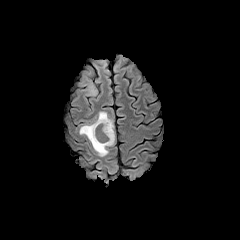
FLAIR MRI.
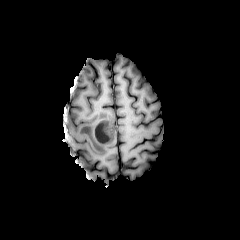
T1-weighted MR.
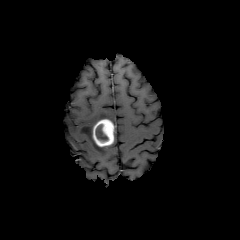
Post-contrast T1-weighted magnetic resonance.
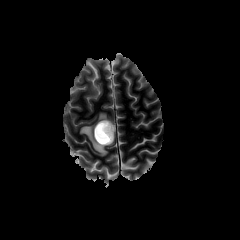
T2-weighted MRI of the same slice.
Axial slice
The necrotic tumor core is located at [96, 125, 107, 141]. The enhancing tumor is located at [92, 119, 114, 146]. 2 peritumoral edema regions are located at [79, 111, 115, 156], [78, 67, 97, 95].